FLAIR magnetic resonance.
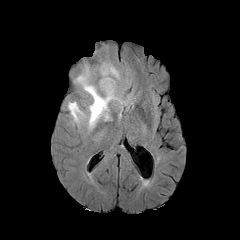
T1-weighted MRI.
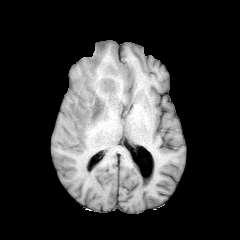
Post-contrast T1-weighted MRI.
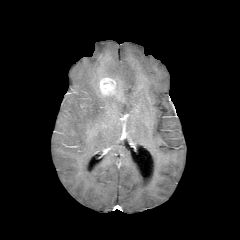
T2-weighted MRI.
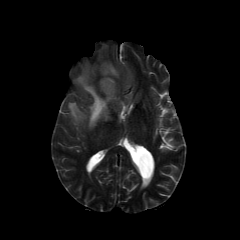
Axial plane; 240x240
peritumoral edema = [68,67,122,129], [101,63,119,78]
enhancing tumor = [99,77,115,95]